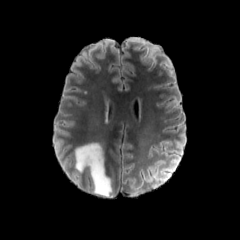
FLAIR MR.
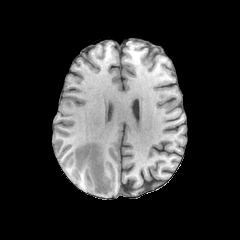
T1-weighted MRI of the same slice.
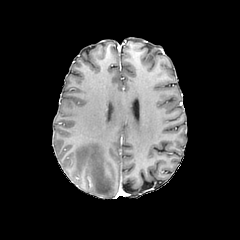
Post-contrast T1-weighted magnetic resonance.
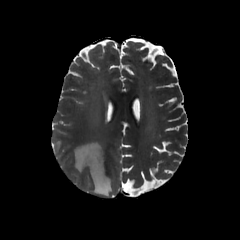
Same slice, T2-weighted MRI.
Head
The peritumoral edema is bounded by box=[75, 143, 111, 196].